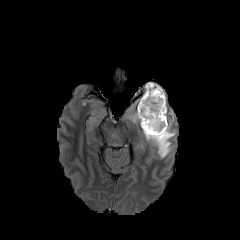
FLAIR MR image.
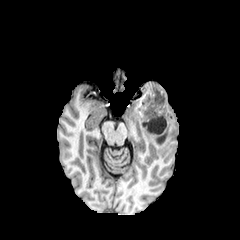
T1-weighted MRI.
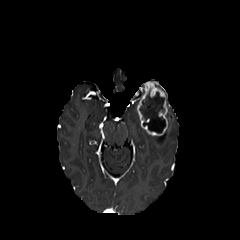
Post-contrast T1-weighted MR image.
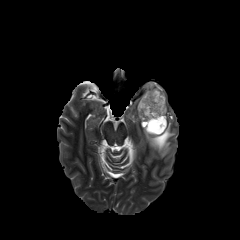
T2-weighted magnetic resonance.
Axial slice
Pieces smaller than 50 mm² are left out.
enhancing tumor: l=137, t=81, r=168, b=136
peritumoral edema: l=142, t=108, r=176, b=158; l=123, t=105, r=139, b=123
necrotic tumor core: l=139, t=91, r=165, b=133